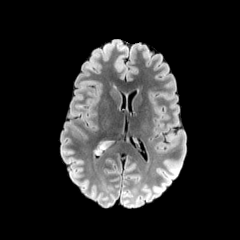
FLAIR MR.
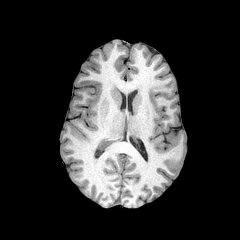
T1-weighted MRI.
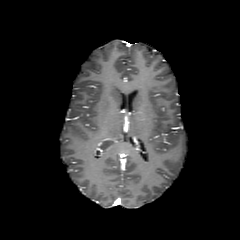
Post-contrast T1-weighted MR.
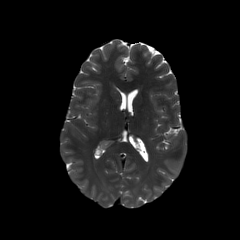
Same slice, T2-weighted MRI.
240x240 px | Brain
The peritumoral edema appears at {"x1": 94, "y1": 138, "x2": 114, "y2": 150}.